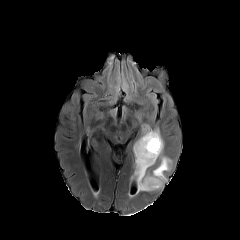
FLAIR magnetic resonance.
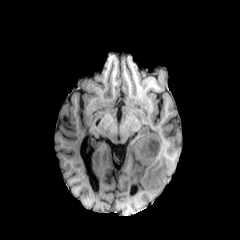
T1-weighted MR image of the same slice.
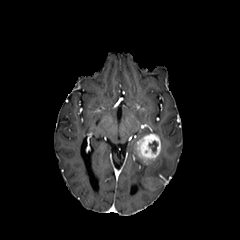
Post-contrast T1-weighted MR image.
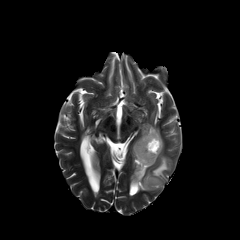
Same slice, T2-weighted MR.
240x240 px, Head
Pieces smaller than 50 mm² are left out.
necrotic tumor core: bbox=[148, 140, 158, 152]
enhancing tumor: bbox=[145, 177, 162, 190]; bbox=[135, 132, 161, 164]
peritumoral edema: bbox=[133, 128, 170, 191]